FLAIR MR image.
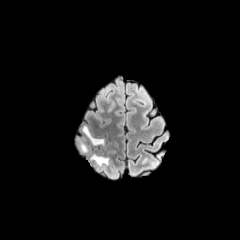
T1-weighted MRI.
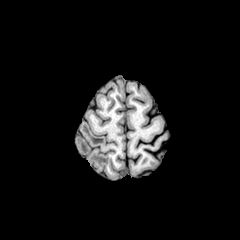
Post-contrast T1-weighted MR.
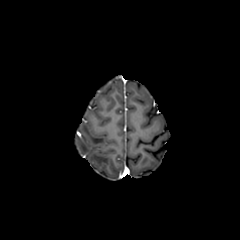
T2-weighted MRI.
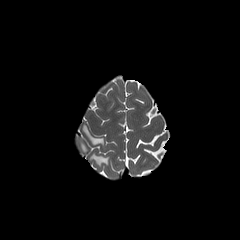
Axial slice. Head.
<segmentation>
  <peritumoral_edema>(78, 138, 88, 153), (90, 154, 108, 165), (82, 125, 104, 145)</peritumoral_edema>
</segmentation>